Head. Image covers 240 mm x 240 mm. Axial view. Image size 240x240.
FLAIR magnetic resonance.
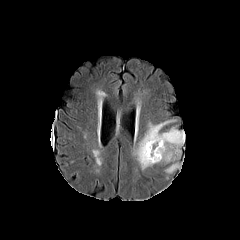
T1-weighted MR.
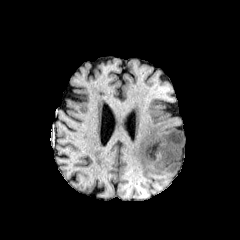
Post-contrast T1-weighted MRI.
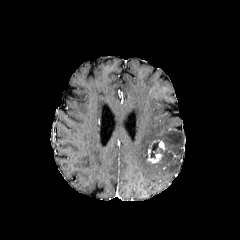
T2-weighted MR image.
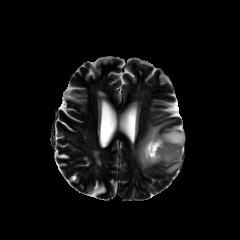
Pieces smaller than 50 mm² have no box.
enhancing tumor at [147,139,166,163]
necrotic tumor core at [150,142,160,157]
peritumoral edema at [165,162,180,173], [133,120,184,170]